Slice index 80; 240x240 px; Brain
FLAIR MR.
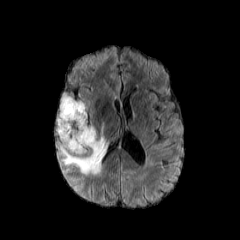
T1-weighted MR image.
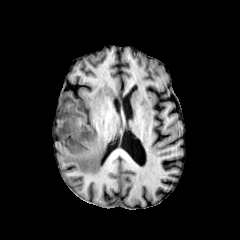
Post-contrast T1-weighted MR image.
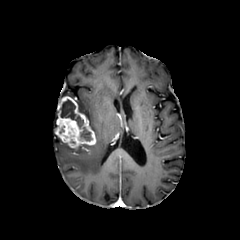
T2-weighted MRI.
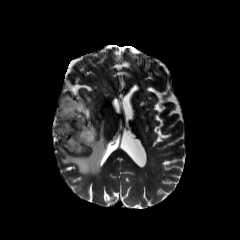
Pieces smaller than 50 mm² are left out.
Annotated regions:
* enhancing tumor: {"x1": 55, "y1": 96, "x2": 96, "y2": 149}
* necrotic tumor core: {"x1": 60, "y1": 100, "x2": 83, "y2": 128}, {"x1": 80, "y1": 127, "x2": 91, "y2": 140}
* peritumoral edema: {"x1": 59, "y1": 126, "x2": 107, "y2": 174}, {"x1": 77, "y1": 101, "x2": 86, "y2": 116}